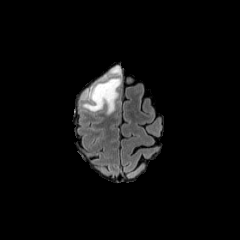
FLAIR MR.
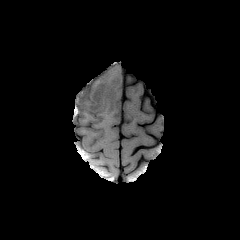
T1-weighted MRI.
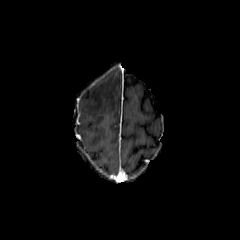
Post-contrast T1-weighted MRI.
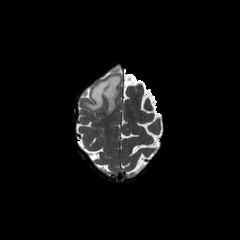
Same slice, T2-weighted magnetic resonance.
Image size 240x240, Head
<segmentation>
  <peritumoral_edema>box(83, 66, 121, 114)</peritumoral_edema>
</segmentation>